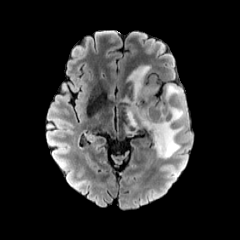
FLAIR MR.
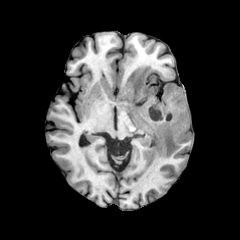
T1-weighted magnetic resonance.
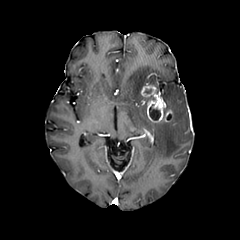
Post-contrast T1-weighted MR.
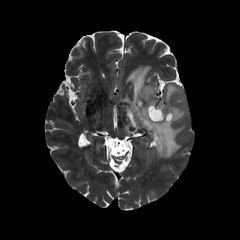
Same slice, T2-weighted MRI.
Head | Axial view
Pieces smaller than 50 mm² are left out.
peritumoral_edema:
  - bbox=[124, 65, 186, 158]
enhancing_tumor:
  - bbox=[141, 84, 173, 122]
necrotic_tumor_core:
  - bbox=[149, 104, 160, 120]